FLAIR MR image.
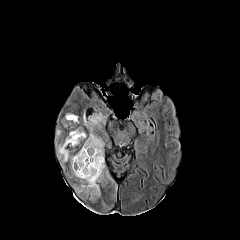
T1-weighted MR image.
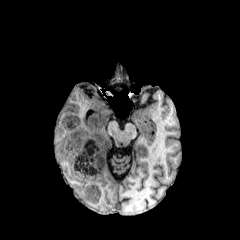
Post-contrast T1-weighted MR image.
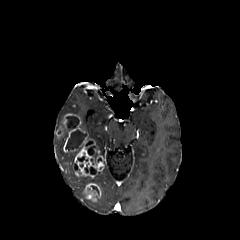
T2-weighted MR image.
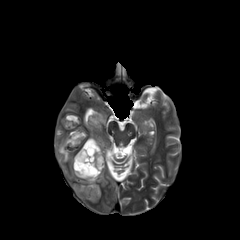
Brain.
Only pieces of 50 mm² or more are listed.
{"enhancing_tumor": ["[61,113,78,128]", "[63,121,85,152]", "[74,137,104,178]", "[82,183,101,201]"], "peritumoral_edema": ["[57,141,76,176]", "[83,112,106,156]", "[75,170,104,194]"], "necrotic_tumor_core": ["[66,116,78,129]", "[85,166,96,174]", "[87,146,97,161]", "[66,130,85,152]"]}